Axial view, Image width 240 mm, 1.00 mm slice spacing, Brain
FLAIR MR image.
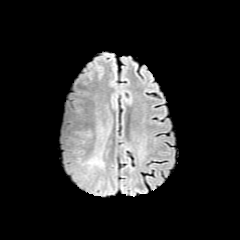
T1-weighted MRI.
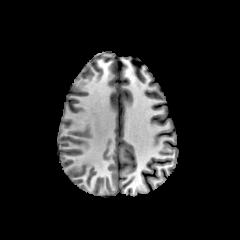
Post-contrast T1-weighted magnetic resonance.
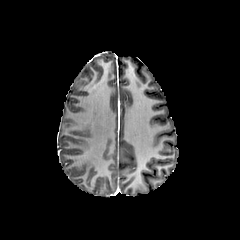
T2-weighted MRI.
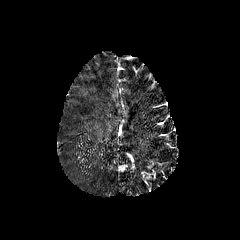
The peritumoral edema is at [x1=87, y1=120, x2=112, y2=172].